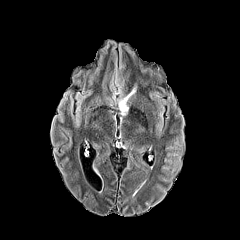
FLAIR MR image.
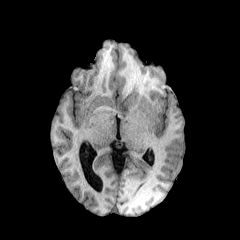
Same slice, T1-weighted magnetic resonance.
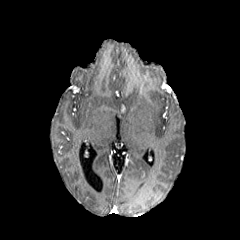
Post-contrast T1-weighted magnetic resonance of the same slice.
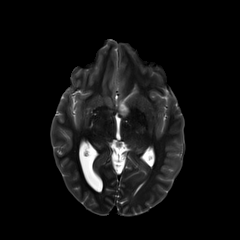
T2-weighted magnetic resonance of the same slice.
Head, 240x240 px
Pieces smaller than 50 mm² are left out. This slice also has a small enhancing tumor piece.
Segmented structures:
* peritumoral edema: rect(118, 86, 136, 115)